FLAIR MRI.
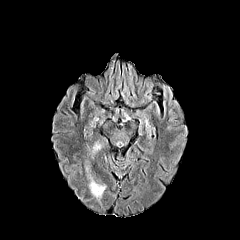
T1-weighted MRI.
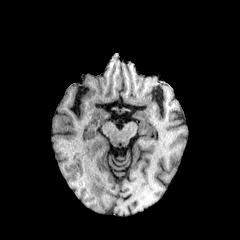
Post-contrast T1-weighted MRI.
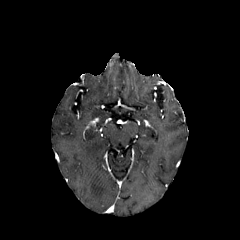
T2-weighted MR image.
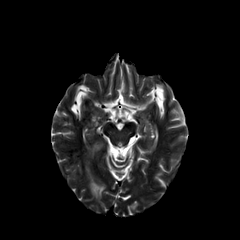
Brain; 240x240 px
3 peritumoral edema regions are bounded by bbox(91, 139, 103, 154); bbox(86, 173, 106, 200); bbox(84, 161, 90, 171).